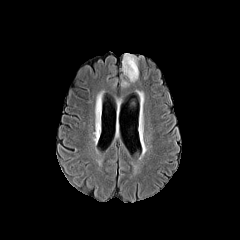
FLAIR MR.
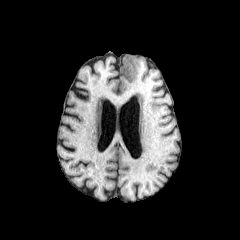
T1-weighted magnetic resonance.
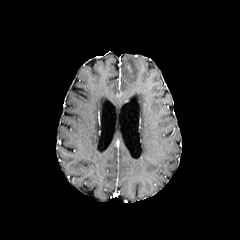
Post-contrast T1-weighted MRI of the same slice.
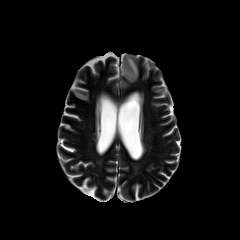
Same slice, T2-weighted MR.
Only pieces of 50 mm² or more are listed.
The largest peritumoral edema region is located at (122, 53, 138, 82).